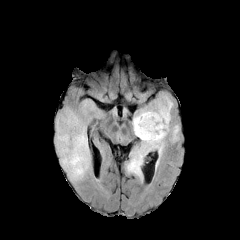
FLAIR MR.
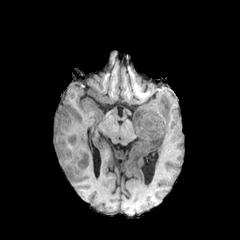
T1-weighted MR.
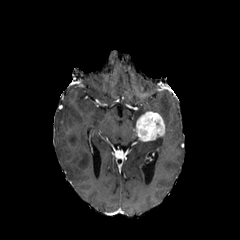
Same slice, post-contrast T1-weighted MR image.
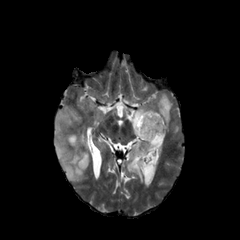
T2-weighted MRI.
Head, Axial slice
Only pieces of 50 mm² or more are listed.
enhancing tumor at bbox=[134, 111, 165, 141]
peritumoral edema at bbox=[55, 106, 90, 181]; bbox=[170, 125, 179, 142]; bbox=[125, 94, 173, 181]